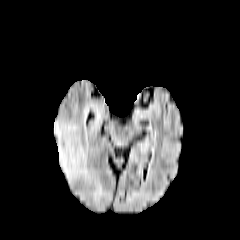
FLAIR MR.
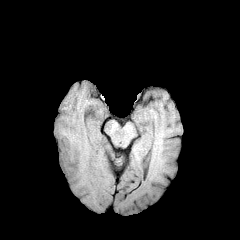
T1-weighted MR of the same slice.
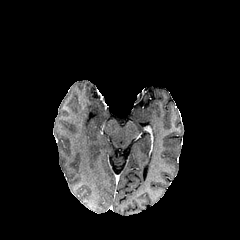
Post-contrast T1-weighted MR image.
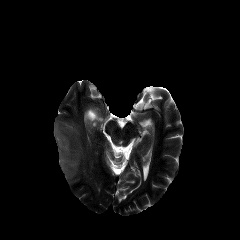
T2-weighted magnetic resonance.
240x240 px | Head | Axial slice
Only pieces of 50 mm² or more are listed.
peritumoral edema: box(54, 121, 90, 179); box(95, 183, 101, 196); box(91, 105, 102, 129)